Axial slice; Image width 240 mm, 1.00 mm slice spacing
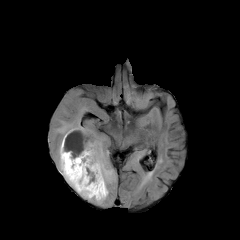
FLAIR MRI.
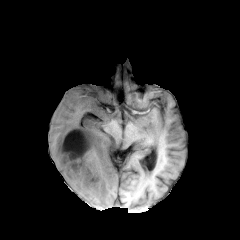
T1-weighted MR.
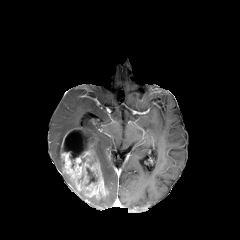
Post-contrast T1-weighted magnetic resonance of the same slice.
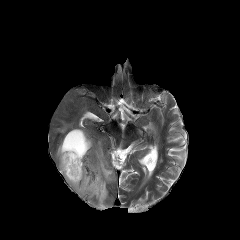
Same slice, T2-weighted MRI.
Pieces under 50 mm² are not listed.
- enhancing tumor: region(60, 130, 108, 199); region(74, 128, 92, 141)
- necrotic tumor core: region(86, 168, 97, 185); region(62, 129, 92, 159)
- peritumoral edema: region(79, 193, 108, 205); region(56, 119, 115, 188)